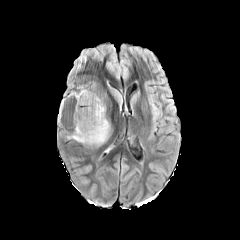
FLAIR MR.
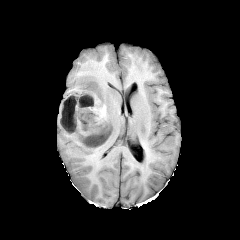
T1-weighted MRI of the same slice.
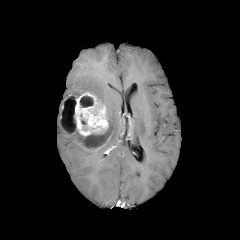
Post-contrast T1-weighted MR.
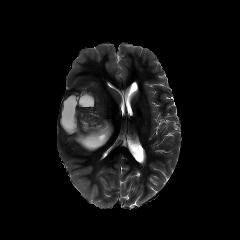
T2-weighted MR.
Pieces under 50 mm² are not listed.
Findings:
* enhancing tumor: [59,92,110,149]
* necrotic tumor core: [85,132,106,147], [80,96,93,107], [62,97,77,130]
* peritumoral edema: [89,85,112,109], [67,133,84,146]